FLAIR magnetic resonance.
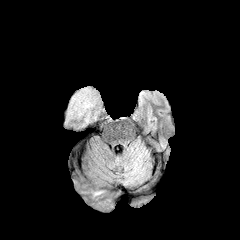
T1-weighted magnetic resonance.
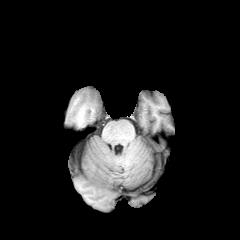
Post-contrast T1-weighted MR image.
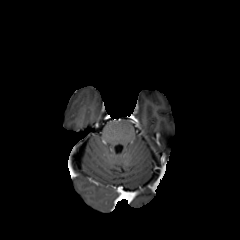
T2-weighted MRI.
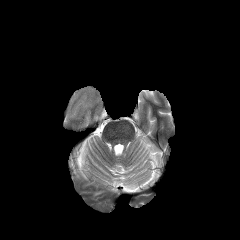
Axial view
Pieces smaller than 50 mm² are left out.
The largest peritumoral edema region is at region(63, 86, 101, 127).